Slice index 91, Image width 240 mm, 1.00 mm slice spacing, Axial plane, Head
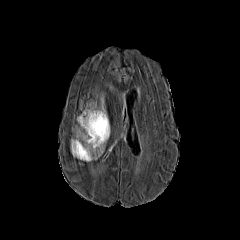
FLAIR MRI.
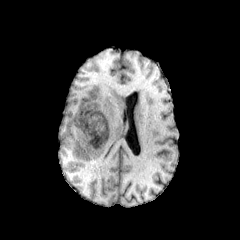
T1-weighted MR image.
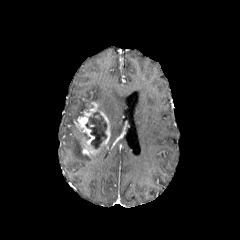
Post-contrast T1-weighted MR image.
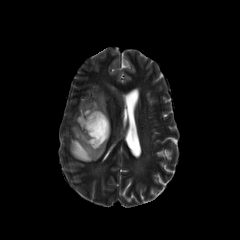
T2-weighted MRI.
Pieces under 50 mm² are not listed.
The largest enhancing tumor region is bounded by 77:101:110:157. The necrotic tumor core is at 86:112:106:148. The 2 largest peritumoral edema regions are bounded by 99:95:106:115, 71:128:104:161.